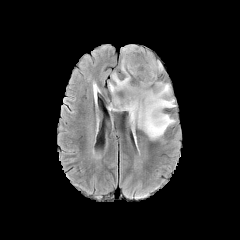
FLAIR MRI.
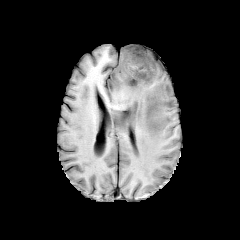
T1-weighted MR image.
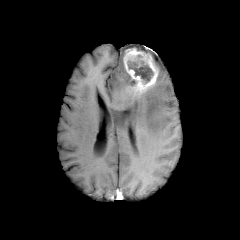
Post-contrast T1-weighted MRI.
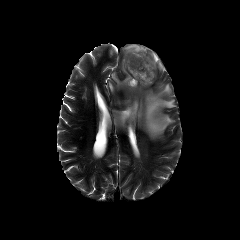
T2-weighted MRI of the same slice.
Axial view
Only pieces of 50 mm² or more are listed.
necrotic tumor core: bounding box box=[125, 61, 152, 85]
enhancing tumor: bounding box box=[123, 47, 158, 95]
peritumoral edema: bounding box box=[122, 44, 141, 56]; box=[109, 59, 175, 139]; box=[156, 59, 163, 72]